FLAIR magnetic resonance.
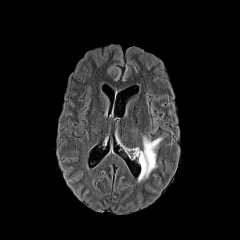
T1-weighted MRI.
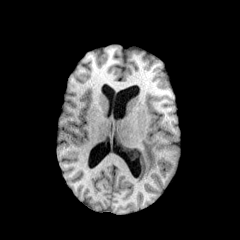
Post-contrast T1-weighted MR image.
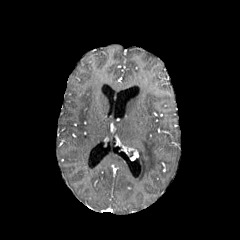
T2-weighted MR.
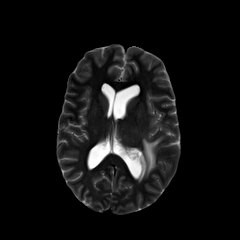
peritumoral_edema:
  - 137,137,162,181